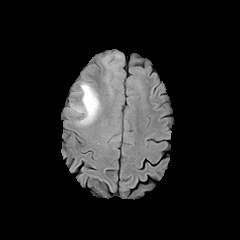
FLAIR MR.
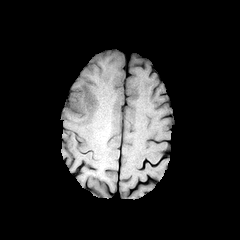
T1-weighted MR of the same slice.
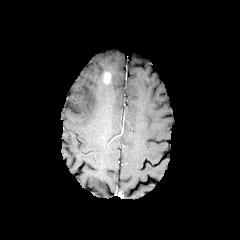
Post-contrast T1-weighted MR.
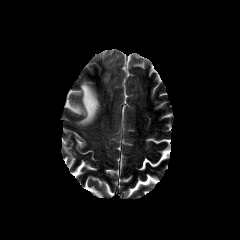
T2-weighted MRI.
240x240
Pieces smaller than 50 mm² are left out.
Annotated regions:
* enhancing tumor: 103, 72, 110, 83
* peritumoral edema: 103, 55, 118, 73; 69, 81, 100, 125